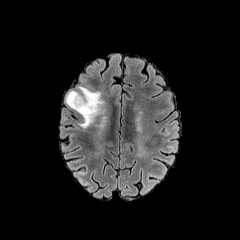
FLAIR MRI.
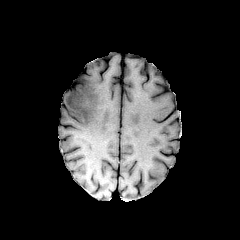
T1-weighted MR image of the same slice.
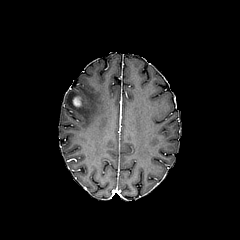
Same slice, post-contrast T1-weighted MR.
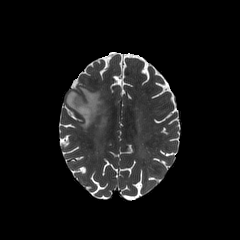
T2-weighted MR of the same slice.
240x240 px
enhancing tumor — box(72, 96, 82, 107)
peritumoral edema — box(65, 86, 104, 128)